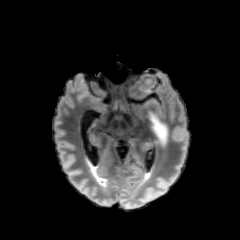
FLAIR MR image.
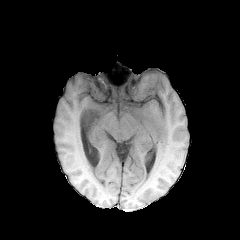
T1-weighted MRI of the same slice.
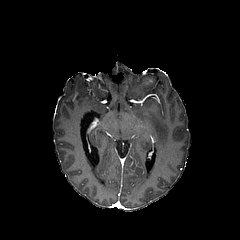
Post-contrast T1-weighted MR image.
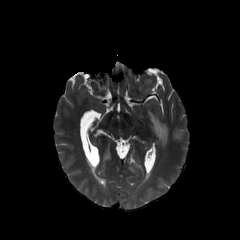
T2-weighted MR image.
Brain. Axial plane.
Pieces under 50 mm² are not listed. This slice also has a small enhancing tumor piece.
<segmentation>
  <peritumoral_edema>box(149, 113, 167, 145)</peritumoral_edema>
</segmentation>